FLAIR MR image.
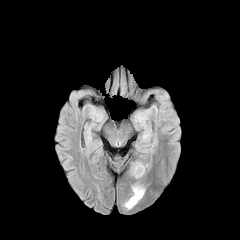
T1-weighted magnetic resonance.
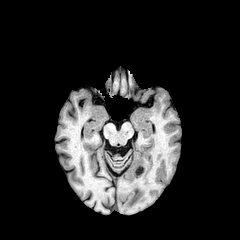
Post-contrast T1-weighted MRI.
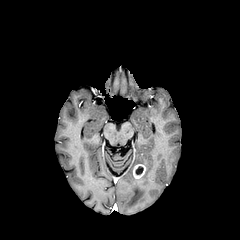
T2-weighted MR image.
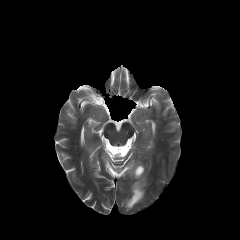
Brain; Axial slice; Image size 240x240
The enhancing tumor is bounded by <bbox>133, 164, 145, 178</bbox>. The peritumoral edema appears at <bbox>125, 184, 144, 209</bbox>. The necrotic tumor core appears at <bbox>135, 166, 143, 174</bbox>.